FLAIR MR.
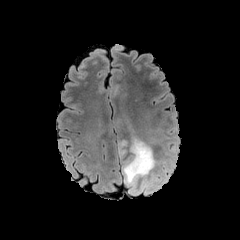
T1-weighted MR.
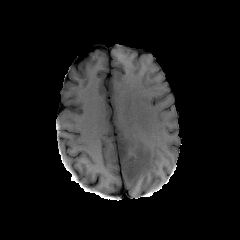
Post-contrast T1-weighted MR.
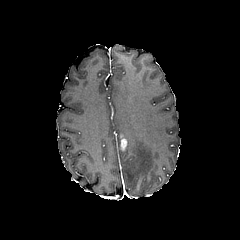
T2-weighted MR.
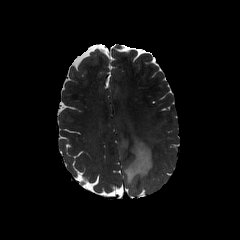
Head
{"enhancing_tumor": ["[121,139,127,149]"], "peritumoral_edema": ["[118,137,164,194]"]}